Image width 240 mm
FLAIR magnetic resonance.
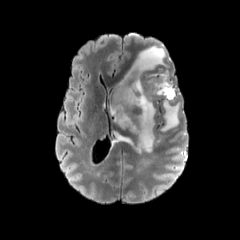
T1-weighted MRI.
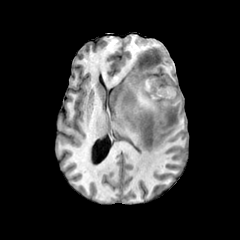
Post-contrast T1-weighted MR.
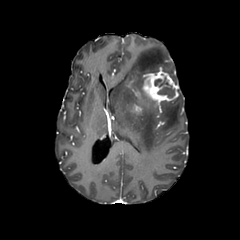
T2-weighted MR image.
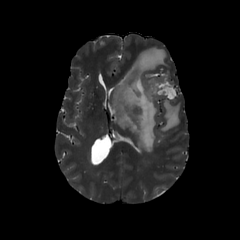
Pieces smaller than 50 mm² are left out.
necrotic_tumor_core:
  - bbox(154, 77, 174, 97)
peritumoral_edema:
  - bbox(116, 132, 131, 143)
  - bbox(110, 46, 166, 152)
  - bbox(161, 101, 179, 131)
enhancing_tumor:
  - bbox(131, 104, 142, 115)
  - bbox(142, 71, 178, 103)